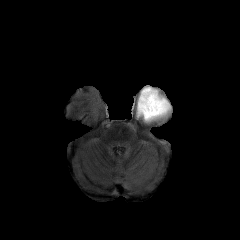
FLAIR MRI.
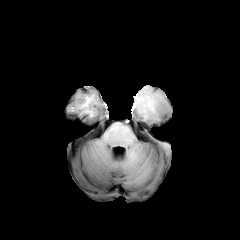
T1-weighted MRI of the same slice.
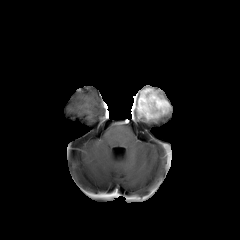
Post-contrast T1-weighted magnetic resonance of the same slice.
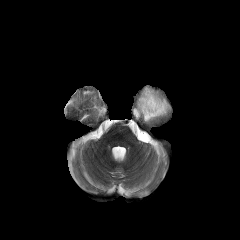
Same slice, T2-weighted MR image.
Axial view; 240x240; Head
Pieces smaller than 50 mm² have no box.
enhancing tumor: bbox(136, 88, 171, 121)
peritumoral edema: bbox(140, 111, 170, 122)